FLAIR MR image.
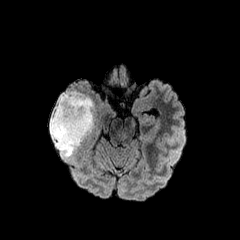
T1-weighted MR.
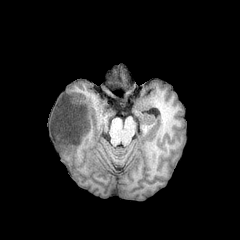
Post-contrast T1-weighted MRI.
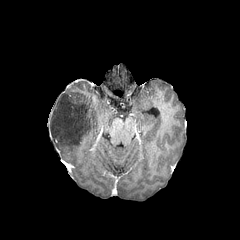
T2-weighted MR.
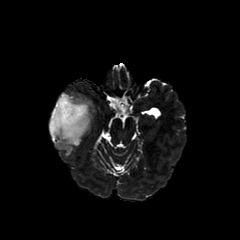
Axial slice.
The peritumoral edema lies within (49,92,94,157).